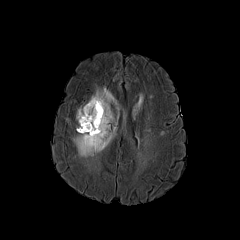
FLAIR MR.
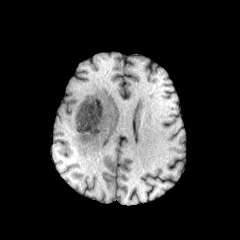
T1-weighted MR of the same slice.
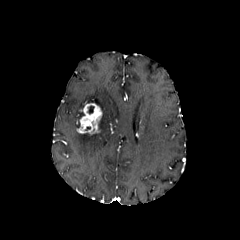
Post-contrast T1-weighted MR.
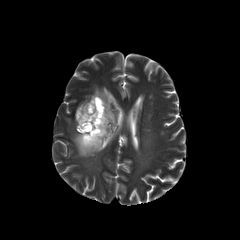
Same slice, T2-weighted magnetic resonance.
Brain
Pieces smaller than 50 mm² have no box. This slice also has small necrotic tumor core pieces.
enhancing_tumor:
  - <box>76,103,102,134</box>
peritumoral_edema:
  - <box>76,106,84,127</box>
  - <box>72,87,119,157</box>